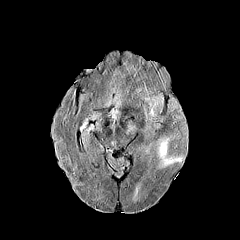
FLAIR MRI.
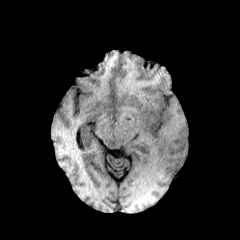
T1-weighted magnetic resonance of the same slice.
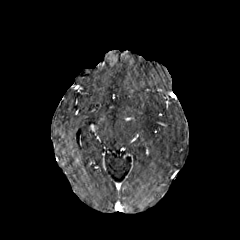
Post-contrast T1-weighted MR.
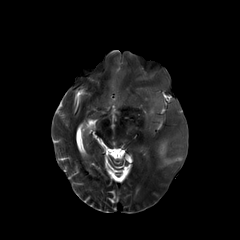
Same slice, T2-weighted MR image.
Head
peritumoral edema — l=157, t=138, r=181, b=167